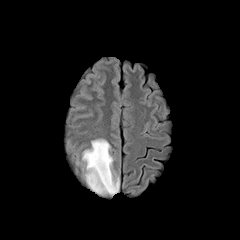
FLAIR MR image.
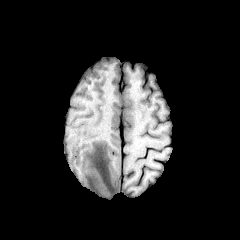
T1-weighted MR of the same slice.
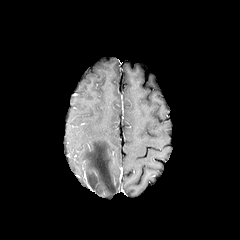
Post-contrast T1-weighted MR image of the same slice.
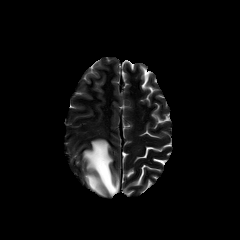
T2-weighted MR image.
Head | Axial plane
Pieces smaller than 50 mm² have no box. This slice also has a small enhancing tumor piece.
{"peritumoral_edema": ["x1=82 y1=139 x2=119 y2=195"]}